FLAIR MR image.
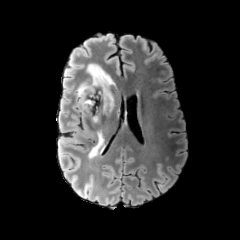
T1-weighted MR image.
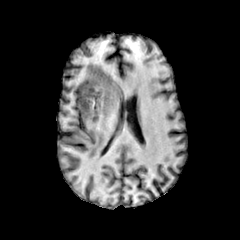
Post-contrast T1-weighted magnetic resonance.
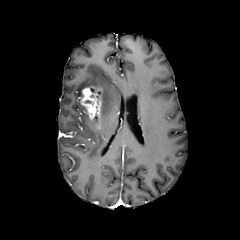
T2-weighted MR image.
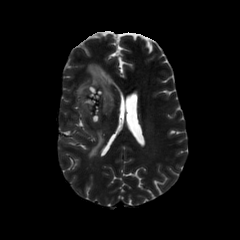
Axial slice. Image size 240x240.
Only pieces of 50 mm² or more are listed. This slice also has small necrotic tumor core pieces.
enhancing tumor: 79:86:103:121
peritumoral edema: 88:120:103:157, 76:64:114:116